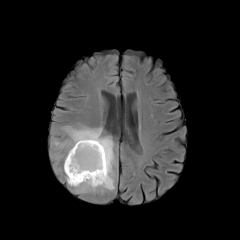
FLAIR MR.
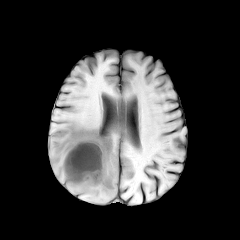
T1-weighted MR of the same slice.
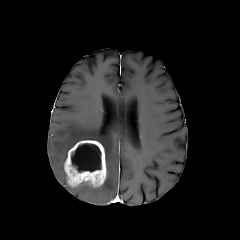
Post-contrast T1-weighted MR of the same slice.
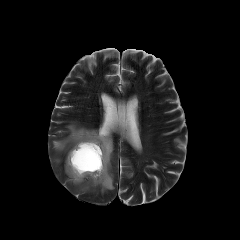
T2-weighted MR.
Brain; 240x240 px
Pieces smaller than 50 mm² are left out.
peritumoral edema: bounding box {"x1": 53, "y1": 126, "x2": 114, "y2": 192}
enhancing tumor: bounding box {"x1": 64, "y1": 140, "x2": 106, "y2": 187}
necrotic tumor core: bounding box {"x1": 71, "y1": 143, "x2": 101, "y2": 172}